FLAIR magnetic resonance.
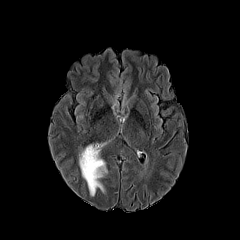
T1-weighted MR.
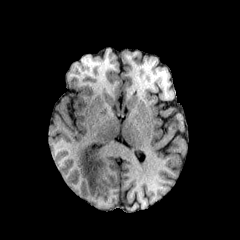
Post-contrast T1-weighted magnetic resonance.
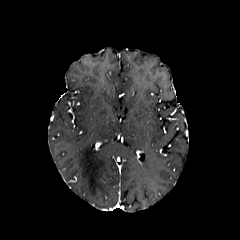
T2-weighted MRI.
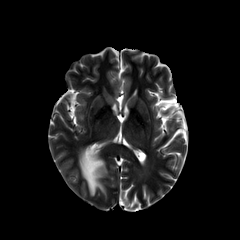
peritumoral edema: 79,145,106,195